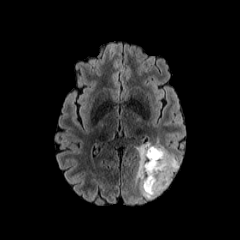
FLAIR MRI.
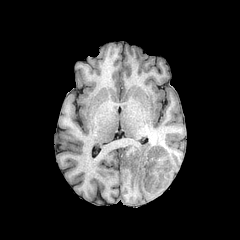
T1-weighted MR of the same slice.
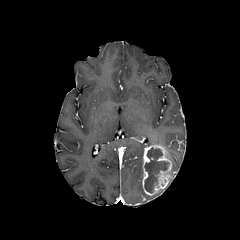
Same slice, post-contrast T1-weighted MRI.
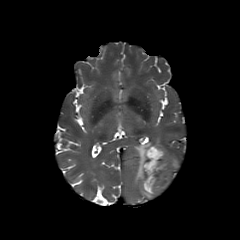
T2-weighted MR image of the same slice.
Brain
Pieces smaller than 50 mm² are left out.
peritumoral edema: [x1=135, y1=138, x2=163, y2=199], [x1=168, y1=151, x2=179, y2=177] | enhancing tumor: [x1=140, y1=145, x2=172, y2=195] | necrotic tumor core: [x1=144, y1=147, x2=169, y2=193]